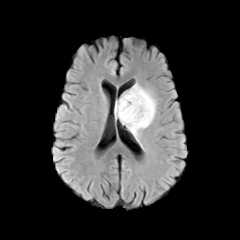
FLAIR magnetic resonance.
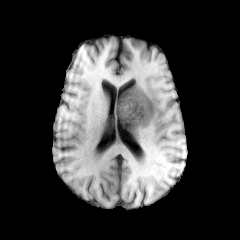
T1-weighted MR image of the same slice.
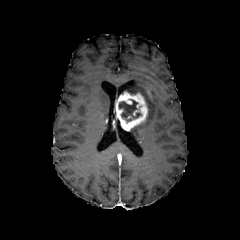
Post-contrast T1-weighted MR image.
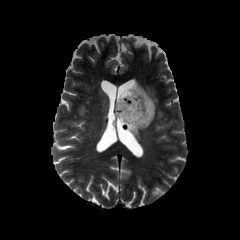
T2-weighted MR image of the same slice.
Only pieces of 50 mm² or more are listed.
The enhancing tumor lies within 115:91:148:130. The largest peritumoral edema region lies within 127:83:155:139. The largest necrotic tumor core region is at 119:100:140:118.